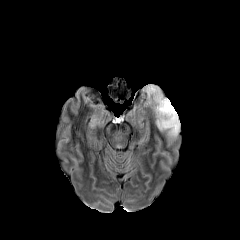
FLAIR MRI.
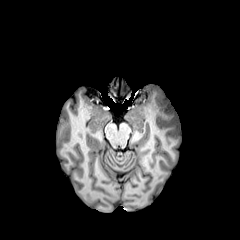
T1-weighted MR.
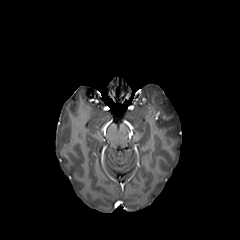
Same slice, post-contrast T1-weighted MRI.
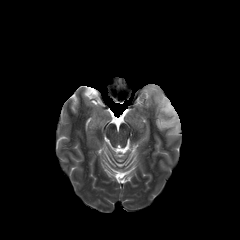
T2-weighted MR.
Head. Axial plane.
• peritumoral edema: <box>147,85,180,137</box>